FLAIR MR.
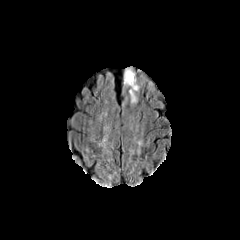
T1-weighted MRI.
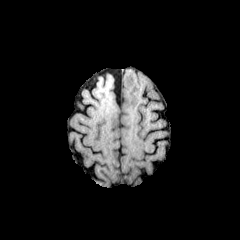
Post-contrast T1-weighted MR image.
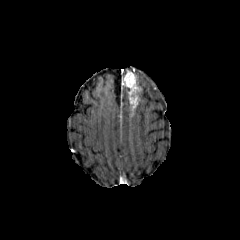
T2-weighted magnetic resonance.
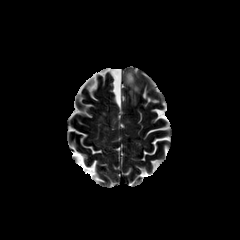
Brain. Axial plane.
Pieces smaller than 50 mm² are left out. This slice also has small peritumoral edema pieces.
<segmentation>
  <enhancing_tumor>bbox(124, 71, 139, 106)</enhancing_tumor>
</segmentation>